FLAIR MR.
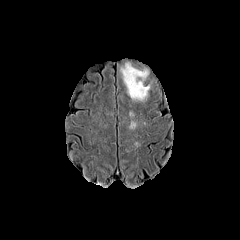
T1-weighted MRI.
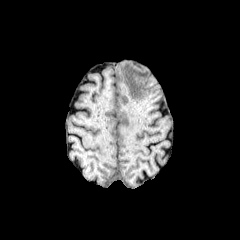
Post-contrast T1-weighted magnetic resonance.
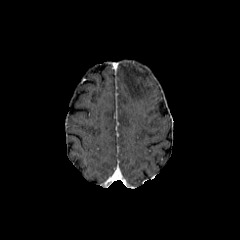
T2-weighted MRI.
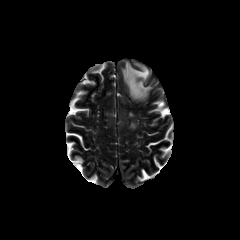
240x240. Head.
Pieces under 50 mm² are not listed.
peritumoral edema at box=[120, 62, 150, 100]